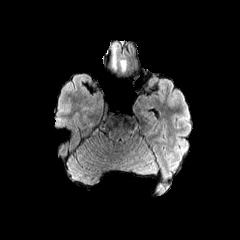
FLAIR MR image.
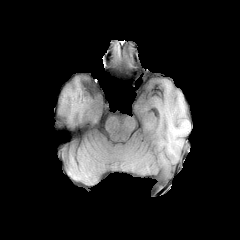
Same slice, T1-weighted MR image.
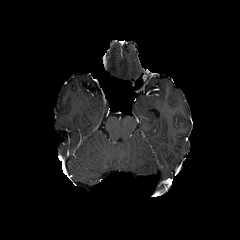
Post-contrast T1-weighted MR of the same slice.
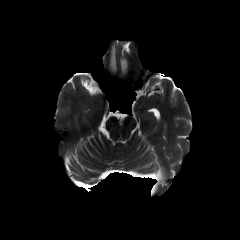
T2-weighted magnetic resonance.
Axial plane.
peritumoral edema: 120 59 126 70, 111 46 115 68